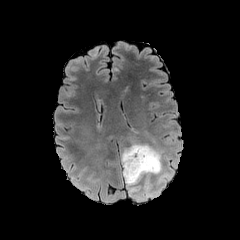
FLAIR MR image.
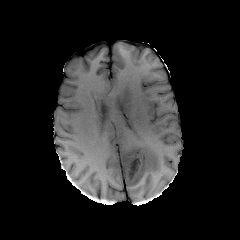
T1-weighted MR.
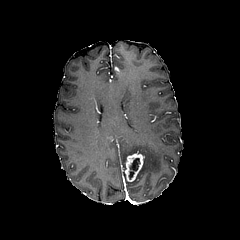
Post-contrast T1-weighted magnetic resonance of the same slice.
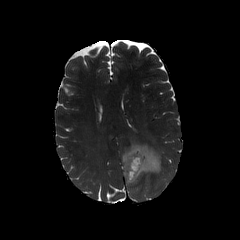
T2-weighted MR image.
Brain. Axial view. Image size 240x240.
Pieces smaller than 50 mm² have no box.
{"enhancing_tumor": ["123,152,144,181"], "necrotic_tumor_core": ["129,158,140,177"], "peritumoral_edema": ["121,142,171,197"]}